FLAIR MR.
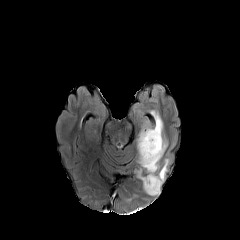
T1-weighted magnetic resonance.
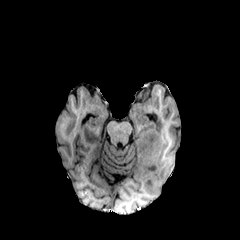
Post-contrast T1-weighted MR.
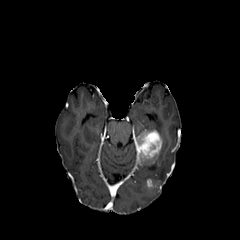
T2-weighted MR image.
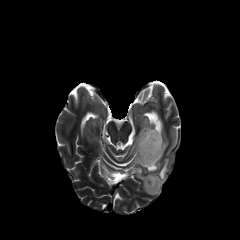
240x240. Axial plane. Head.
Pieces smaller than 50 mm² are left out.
The 3 largest peritumoral edema regions appear at x1=138, y1=159, x2=168, y2=195; x1=141, y1=141, x2=165, y2=172; x1=145, y1=114, x2=162, y2=137. 2 enhancing tumor regions are located at x1=137, y1=129, x2=162, y2=164; x1=146, y1=179, x2=159, y2=189.